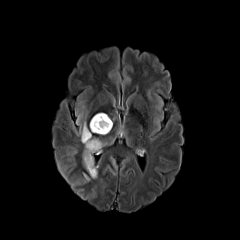
FLAIR MR.
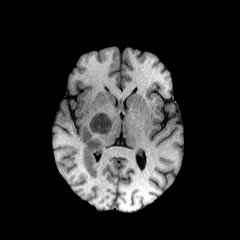
T1-weighted magnetic resonance of the same slice.
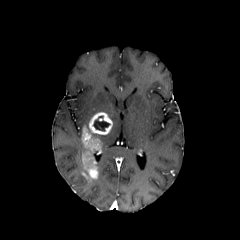
Post-contrast T1-weighted MRI.
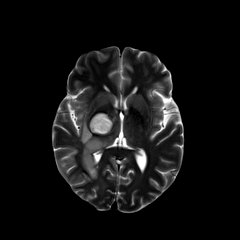
Same slice, T2-weighted MR.
240x240 px; Axial slice
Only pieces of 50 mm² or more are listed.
{
  "necrotic_tumor_core": [
    "[x1=93, y1=116, x2=109, y2=131]"
  ],
  "peritumoral_edema": [
    "[x1=75, y1=112, x2=86, y2=137]"
  ],
  "enhancing_tumor": [
    "[x1=81, y1=112, x2=112, y2=178]"
  ]
}